FLAIR MR image.
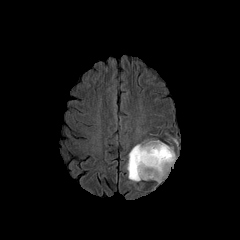
T1-weighted MR.
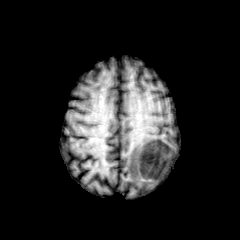
Post-contrast T1-weighted MR.
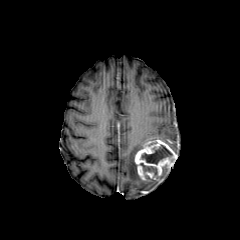
T2-weighted MRI.
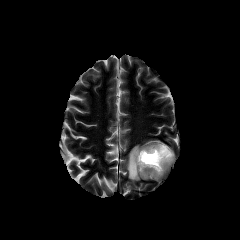
Axial slice, Head
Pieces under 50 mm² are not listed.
The largest peritumoral edema region is bounded by (x1=126, y1=142, x2=143, y2=181). 2 necrotic tumor core regions are located at (x1=140, y1=163, x2=157, y2=175), (x1=141, y1=145, x2=172, y2=164). The enhancing tumor appears at (x1=135, y1=139, x2=176, y2=180).